FLAIR magnetic resonance.
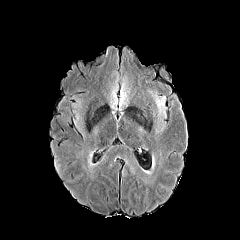
T1-weighted MR.
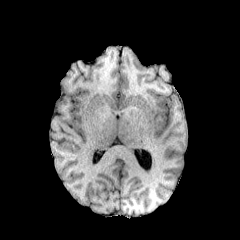
Post-contrast T1-weighted MRI.
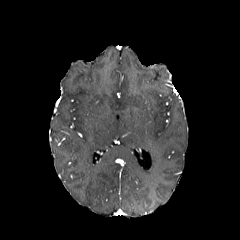
T2-weighted magnetic resonance.
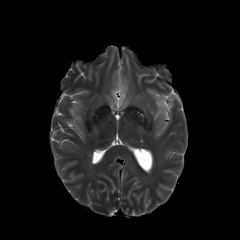
Brain
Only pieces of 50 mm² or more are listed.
<segmentation>
  <peritumoral_edema>box(153, 95, 165, 111)</peritumoral_edema>
</segmentation>